FLAIR MR image.
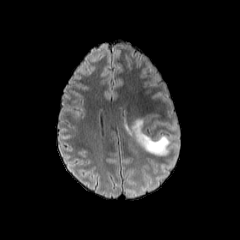
T1-weighted MR.
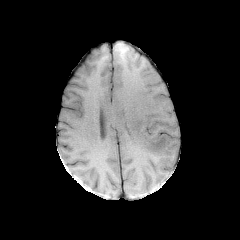
Post-contrast T1-weighted MR image.
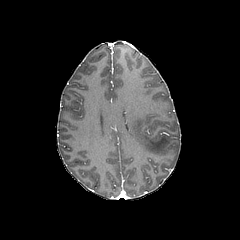
T2-weighted magnetic resonance.
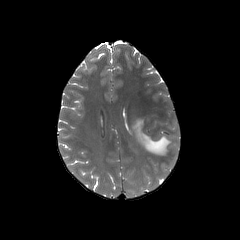
Axial slice. Head.
Segmented structures:
• peritumoral edema: left=126, top=118, right=171, bottom=156